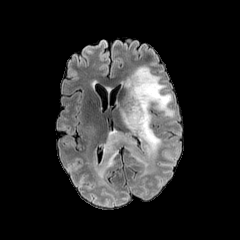
FLAIR MR image.
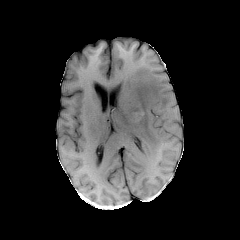
T1-weighted MR.
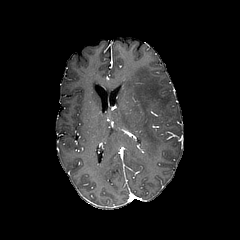
Same slice, post-contrast T1-weighted MR.
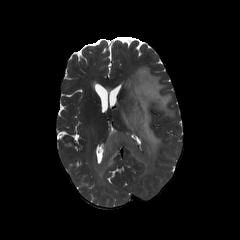
T2-weighted MR image of the same slice.
Axial slice
peritumoral edema: bounding box rect(97, 130, 147, 178); rect(120, 66, 174, 158)